FLAIR MRI.
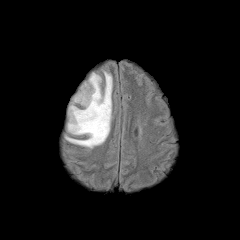
T1-weighted magnetic resonance.
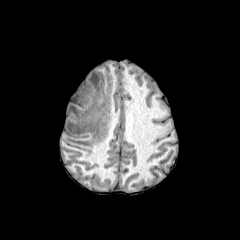
Post-contrast T1-weighted MRI.
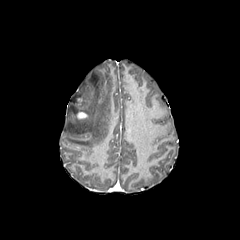
T2-weighted MR.
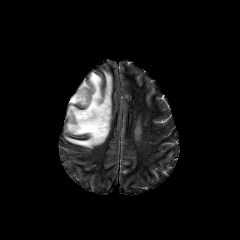
Axial plane. Head.
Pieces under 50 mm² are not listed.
{
  "enhancing_tumor": [
    "l=77, t=112, r=86, b=118"
  ],
  "peritumoral_edema": [
    "l=65, t=71, r=112, b=148"
  ]
}